Slice index 112 | Image size 240x240
FLAIR MR.
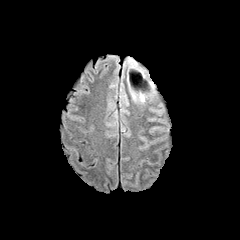
T1-weighted MRI.
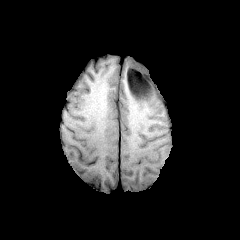
Post-contrast T1-weighted MR.
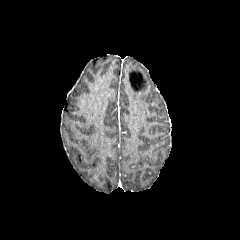
T2-weighted magnetic resonance.
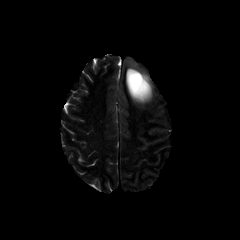
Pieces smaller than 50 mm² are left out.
• enhancing tumor: 127,69,150,97
• necrotic tumor core: 129,69,147,92
• peritumoral edema: 129,80,154,103; 129,60,141,71